240x240 px
FLAIR MRI.
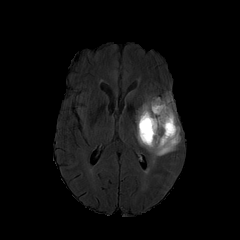
T1-weighted MR.
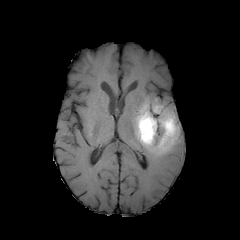
Post-contrast T1-weighted MR image.
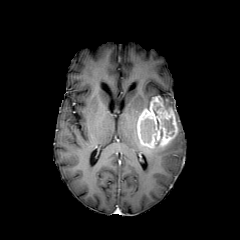
T2-weighted MRI.
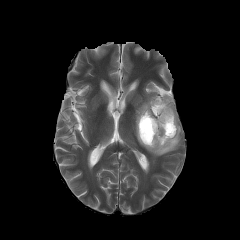
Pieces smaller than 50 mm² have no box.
{
  "necrotic_tumor_core": [
    "(164,118,174,134)",
    "(141,119,154,142)"
  ],
  "enhancing_tumor": [
    "(137,96,177,148)"
  ],
  "peritumoral_edema": [
    "(144,93,180,156)",
    "(136,98,151,128)"
  ]
}